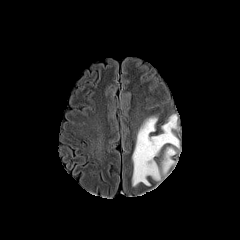
FLAIR magnetic resonance.
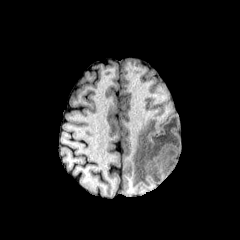
T1-weighted MR.
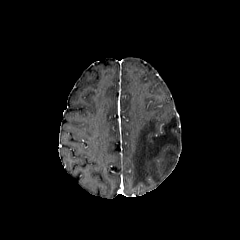
Same slice, post-contrast T1-weighted MR.
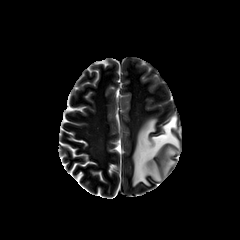
T2-weighted MRI of the same slice.
peritumoral edema: [132, 114, 179, 186]